Image size 240x240. Head. Axial plane.
FLAIR MR image.
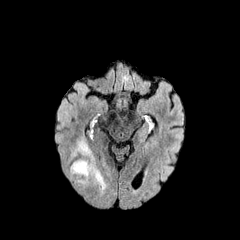
T1-weighted MRI.
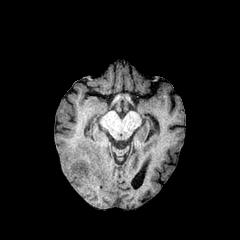
Post-contrast T1-weighted MR.
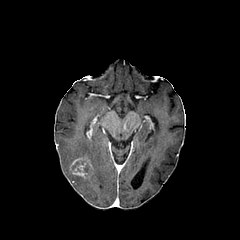
T2-weighted magnetic resonance.
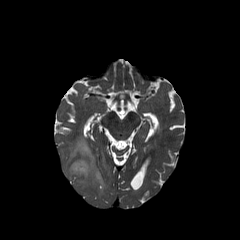
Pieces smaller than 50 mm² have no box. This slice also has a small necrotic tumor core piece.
enhancing tumor at {"x1": 70, "y1": 158, "x2": 91, "y2": 177}
peritumoral edema at {"x1": 66, "y1": 138, "x2": 106, "y2": 193}